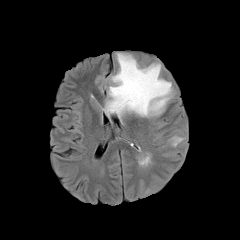
FLAIR MRI.
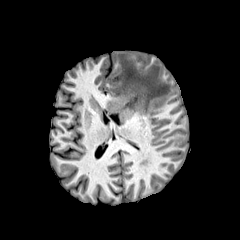
T1-weighted MRI.
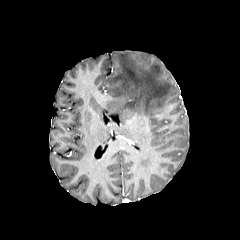
Post-contrast T1-weighted MRI.
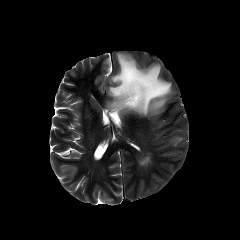
T2-weighted MRI.
240x240
peritumoral edema: bounding box <bbox>104, 53, 172, 117</bbox>, <bbox>167, 135, 185, 146</bbox>